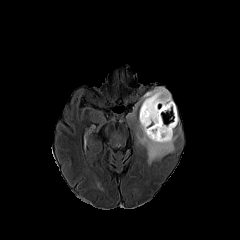
FLAIR MRI.
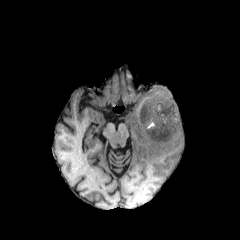
T1-weighted MR image.
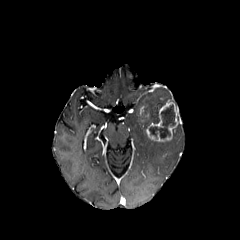
Post-contrast T1-weighted MRI of the same slice.
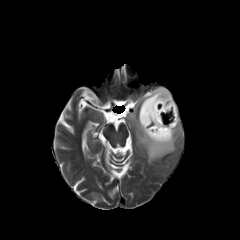
T2-weighted MRI of the same slice.
Axial plane | Head
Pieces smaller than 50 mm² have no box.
peritumoral_edema:
  - box=[136, 87, 177, 164]
necrotic_tumor_core:
  - box=[141, 106, 147, 118]
  - box=[149, 105, 175, 138]
enhancing_tumor:
  - box=[145, 100, 178, 142]